FLAIR MR.
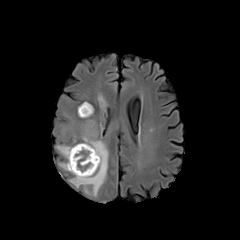
T1-weighted MR image.
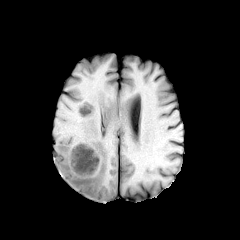
Post-contrast T1-weighted MR image.
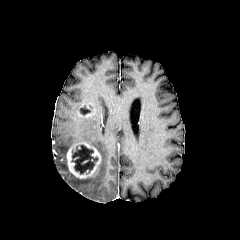
T2-weighted magnetic resonance.
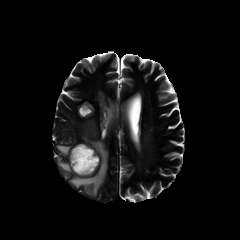
Head; Axial slice; 240x240
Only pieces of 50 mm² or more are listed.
Segmented structures:
• peritumoral edema: [x1=58, y1=162, x2=69, y2=171], [x1=69, y1=120, x2=108, y2=197], [x1=56, y1=145, x2=71, y2=158]
• enhancing tumor: [x1=78, y1=103, x2=93, y2=117], [x1=66, y1=142, x2=100, y2=178]
• necrotic tumor core: [x1=80, y1=105, x2=91, y2=115], [x1=71, y1=145, x2=98, y2=174]